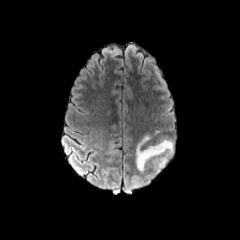
FLAIR MR.
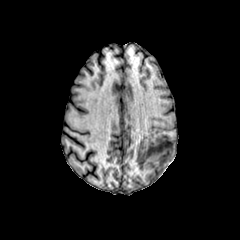
T1-weighted MR image.
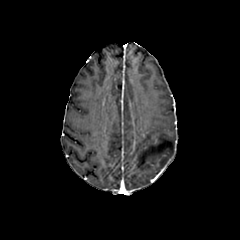
Post-contrast T1-weighted MR.
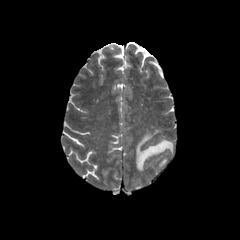
T2-weighted MR image.
240x240 px. Brain.
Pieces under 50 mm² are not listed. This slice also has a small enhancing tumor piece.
peritumoral edema = (136, 134, 173, 171)